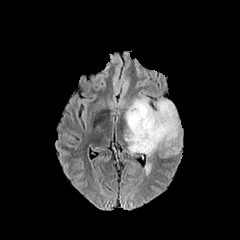
FLAIR magnetic resonance.
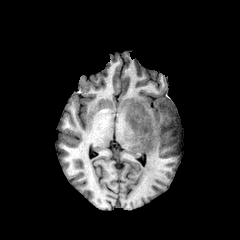
T1-weighted MR image.
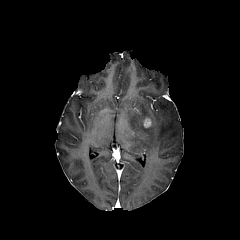
Same slice, post-contrast T1-weighted MR image.
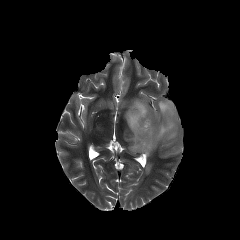
T2-weighted magnetic resonance of the same slice.
240x240 px. Head.
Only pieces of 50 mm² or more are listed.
* enhancing tumor: (144,118,151,127)
* peritumoral edema: (125,96,179,155)